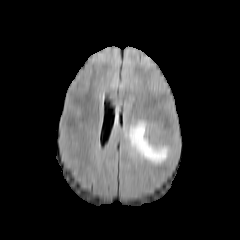
FLAIR MR.
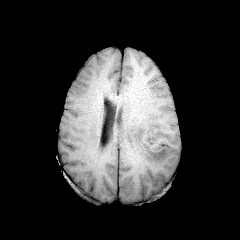
T1-weighted magnetic resonance.
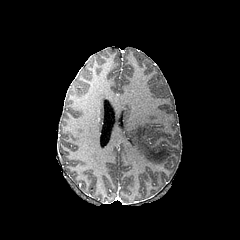
Post-contrast T1-weighted magnetic resonance of the same slice.
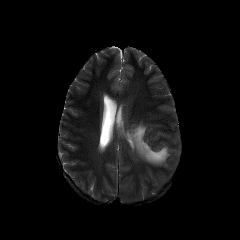
T2-weighted MRI.
Head.
The peritumoral edema appears at rect(125, 121, 169, 164).